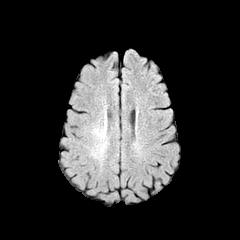
FLAIR MR image.
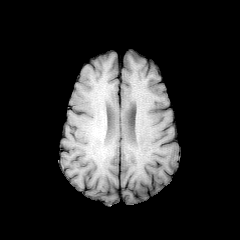
T1-weighted MR image.
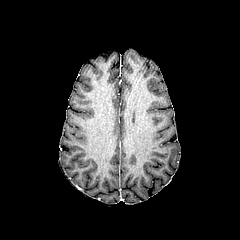
Post-contrast T1-weighted MR image.
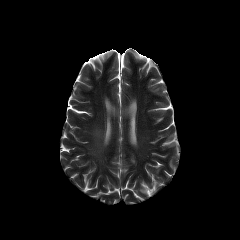
T2-weighted magnetic resonance.
Brain | Image size 240x240
peritumoral edema: bounding box bbox(88, 105, 107, 160)